FLAIR MR.
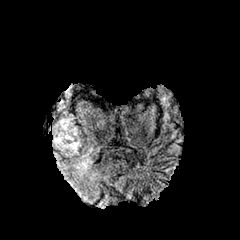
T1-weighted MRI.
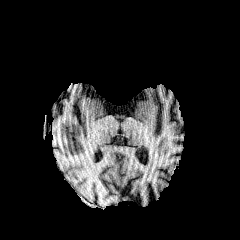
Post-contrast T1-weighted MR.
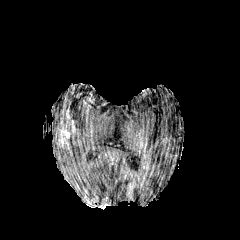
T2-weighted MR.
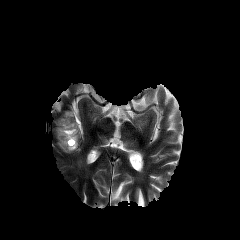
Axial slice; Brain
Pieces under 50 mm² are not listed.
The enhancing tumor lies within {"x1": 58, "y1": 114, "x2": 79, "y2": 149}. The 3 largest peritumoral edema regions are located at {"x1": 68, "y1": 140, "x2": 80, "y2": 153}, {"x1": 77, "y1": 150, "x2": 92, "y2": 170}, {"x1": 54, "y1": 120, "x2": 67, "y2": 149}.